Image width 240 mm, Brain
FLAIR MRI.
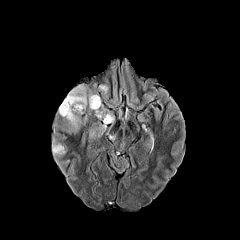
T1-weighted MRI.
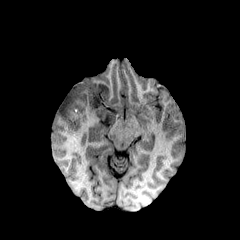
Post-contrast T1-weighted magnetic resonance.
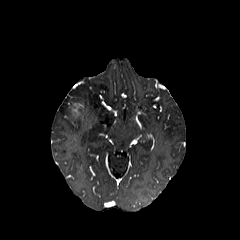
T2-weighted magnetic resonance.
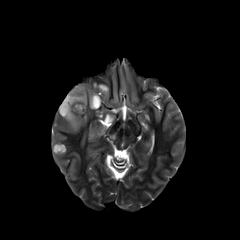
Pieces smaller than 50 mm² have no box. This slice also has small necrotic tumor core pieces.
peritumoral edema at bbox=[59, 96, 81, 126]; bbox=[69, 84, 87, 108]; bbox=[88, 90, 114, 123]; bbox=[53, 146, 64, 153]; bbox=[99, 85, 108, 95]
enhancing tumor at bbox=[70, 102, 84, 118]